FLAIR MR.
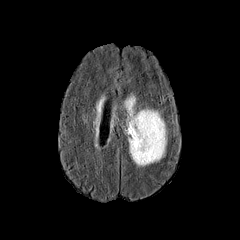
T1-weighted magnetic resonance.
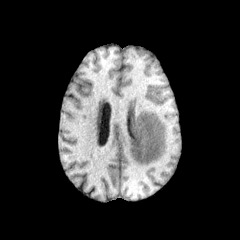
Post-contrast T1-weighted MR.
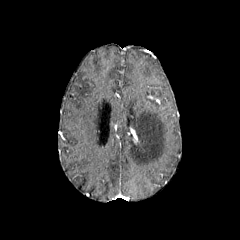
T2-weighted MR.
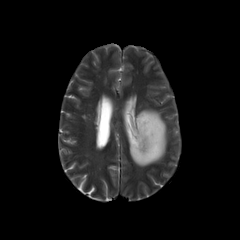
Head; Axial plane; Image size 240x240
peritumoral_edema:
  - (x1=125, y1=96, x2=166, y2=166)
enhancing_tumor:
  - (x1=128, y1=127, x2=139, y2=144)